Slice 127 of 155 | Axial slice
FLAIR MRI.
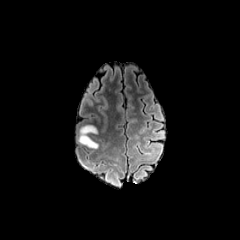
T1-weighted MR.
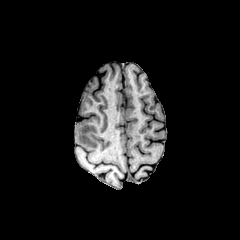
Post-contrast T1-weighted MRI.
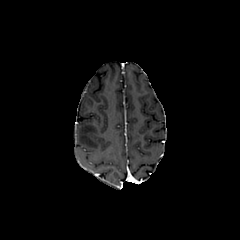
T2-weighted MRI.
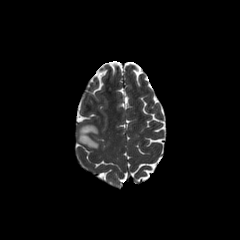
The peritumoral edema lies within l=78, t=125, r=98, b=148.